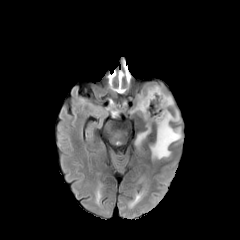
FLAIR MR image.
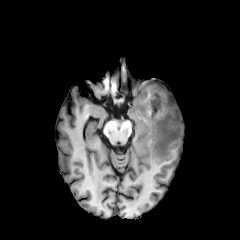
T1-weighted magnetic resonance of the same slice.
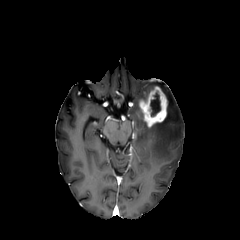
Same slice, post-contrast T1-weighted magnetic resonance.
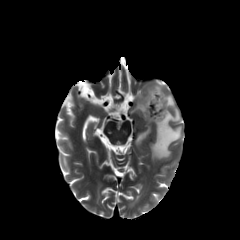
T2-weighted MR.
Brain. Axial plane.
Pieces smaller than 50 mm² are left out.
enhancing_tumor:
  - rect(139, 86, 167, 127)
necrotic_tumor_core:
  - rect(150, 92, 160, 116)
peritumoral_edema:
  - rect(138, 87, 153, 100)
  - rect(135, 128, 150, 146)
  - rect(151, 108, 181, 159)
  - rect(165, 94, 173, 108)